FLAIR magnetic resonance.
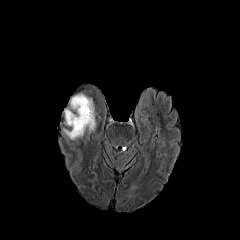
T1-weighted MR image.
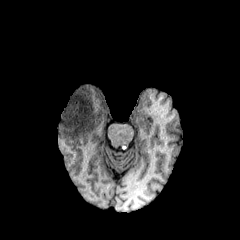
Post-contrast T1-weighted MR.
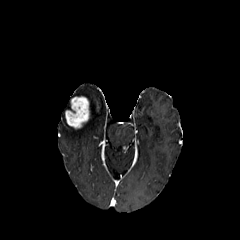
T2-weighted magnetic resonance.
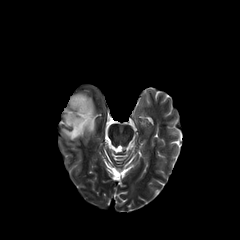
240x240
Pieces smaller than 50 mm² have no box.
enhancing_tumor:
  - rect(65, 96, 90, 129)
peritumoral_edema:
  - rect(62, 93, 95, 140)